FLAIR MRI.
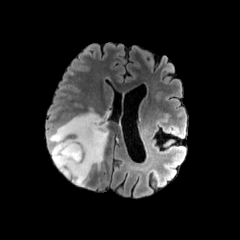
T1-weighted magnetic resonance.
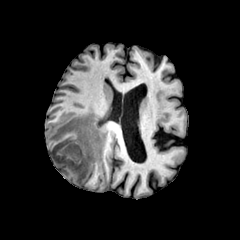
Post-contrast T1-weighted MRI.
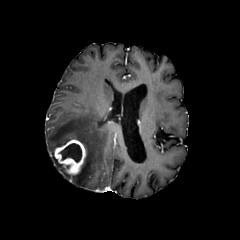
T2-weighted magnetic resonance.
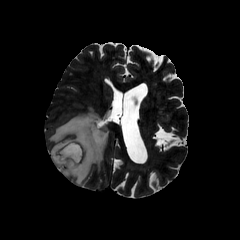
Axial slice
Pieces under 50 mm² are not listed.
<segmentation>
  <enhancing_tumor>x1=54 y1=139 x2=86 y2=174</enhancing_tumor>
  <peritumoral_edema>x1=48 y1=109 x2=108 y2=185</peritumoral_edema>
  <necrotic_tumor_core>x1=59 y1=143 x2=81 y2=162</necrotic_tumor_core>
</segmentation>